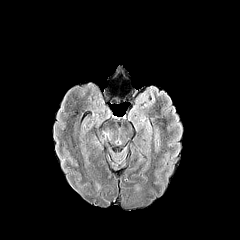
FLAIR MRI.
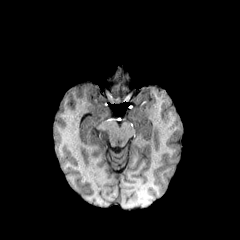
T1-weighted MRI.
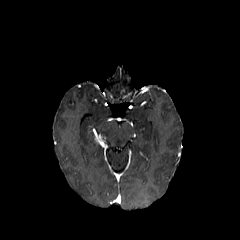
Post-contrast T1-weighted magnetic resonance.
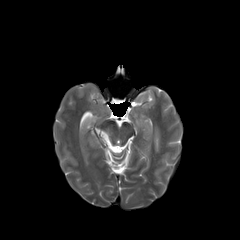
T2-weighted magnetic resonance.
Brain, 240x240 px, Axial slice
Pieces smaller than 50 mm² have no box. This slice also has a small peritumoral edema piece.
enhancing tumor — <box>94,134,106,144</box>